FLAIR MRI.
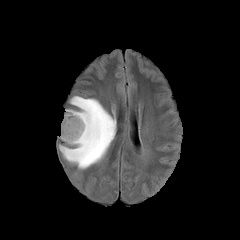
T1-weighted magnetic resonance.
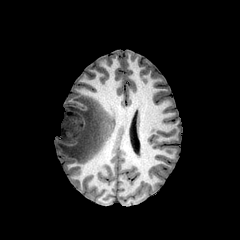
Post-contrast T1-weighted MR.
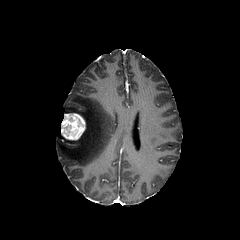
T2-weighted MR.
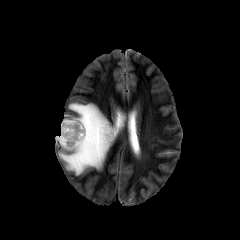
Axial plane. 240x240 px.
Segmented structures:
* peritumoral edema: bbox(58, 96, 116, 170)
* enhancing tumor: bbox(61, 113, 85, 140)